Slice 80/155, Axial view, 240x240
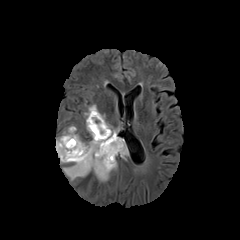
FLAIR magnetic resonance.
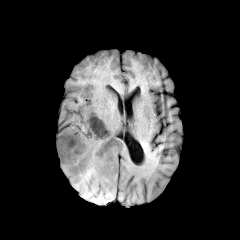
T1-weighted MR image.
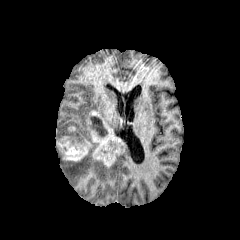
Post-contrast T1-weighted MR image of the same slice.
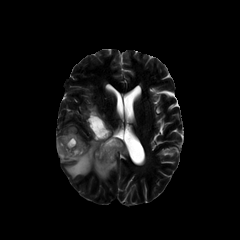
T2-weighted magnetic resonance of the same slice.
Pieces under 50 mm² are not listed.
The 2 largest enhancing tumor regions are bounded by box(56, 134, 91, 161); box(87, 111, 121, 167). The 4 largest peritumoral edema regions are bounded by box(56, 128, 85, 142); box(84, 105, 99, 131); box(56, 138, 117, 180); box(120, 139, 128, 157). The necrotic tumor core is located at box(90, 116, 107, 137).